Axial slice
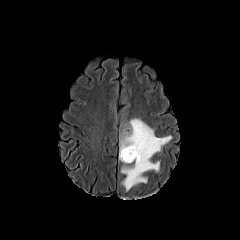
FLAIR MR image.
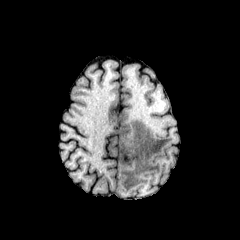
T1-weighted magnetic resonance.
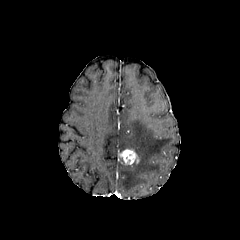
Post-contrast T1-weighted MR image.
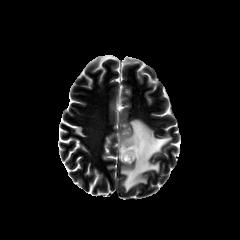
T2-weighted magnetic resonance.
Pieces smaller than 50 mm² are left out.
enhancing tumor — [119,148,139,165]
peritumoral edema — [119,118,171,191]